Slice 81 of 155. Head.
FLAIR MR.
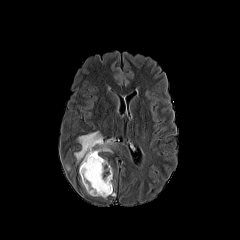
T1-weighted MRI.
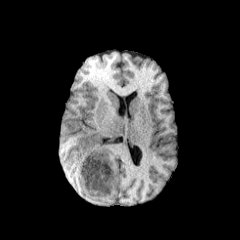
Post-contrast T1-weighted MR image.
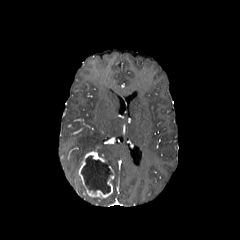
T2-weighted magnetic resonance.
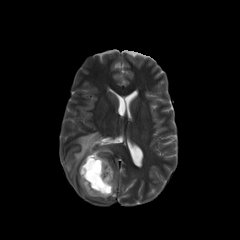
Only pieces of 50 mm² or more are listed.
enhancing tumor = box=[78, 151, 113, 197]
necrotic tumor core = box=[81, 156, 112, 193]
peritumoral edema = box=[74, 131, 112, 164]